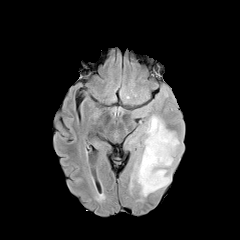
FLAIR magnetic resonance.
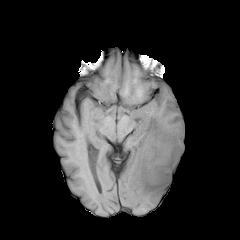
T1-weighted magnetic resonance.
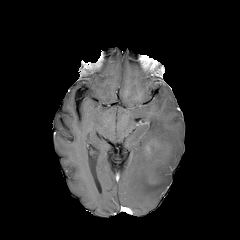
Post-contrast T1-weighted MR image of the same slice.
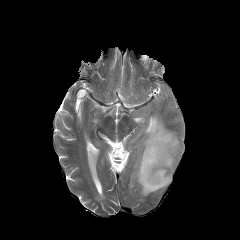
T2-weighted MRI.
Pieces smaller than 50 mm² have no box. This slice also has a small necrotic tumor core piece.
peritumoral edema: bounding box rect(129, 115, 181, 196)